FLAIR MRI.
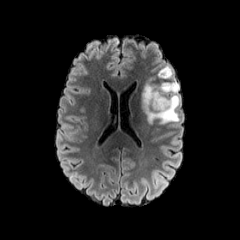
T1-weighted MR image.
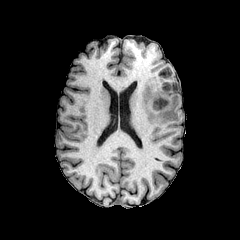
Post-contrast T1-weighted MR image.
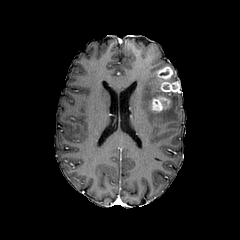
T2-weighted MR.
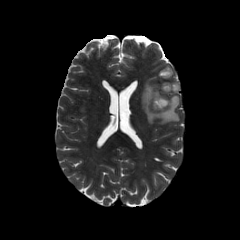
240x240 px, Head
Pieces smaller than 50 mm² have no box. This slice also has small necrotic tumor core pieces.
enhancing tumor = box=[157, 66, 179, 92]; box=[146, 95, 170, 113]
peritumoral edema = box=[139, 80, 179, 126]